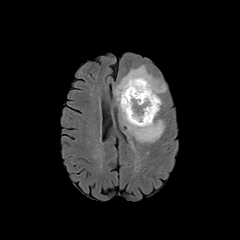
FLAIR MRI.
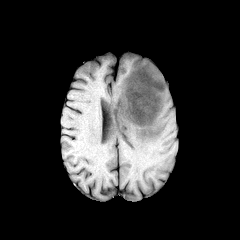
Same slice, T1-weighted MRI.
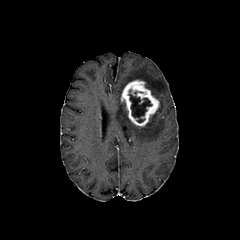
Same slice, post-contrast T1-weighted MR.
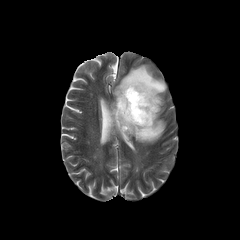
T2-weighted MR image.
Axial slice
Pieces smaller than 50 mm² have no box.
Findings:
* necrotic tumor core: left=129, top=94, right=151, bottom=122
* peritumoral edema: left=114, top=65, right=166, bottom=142
* enhancing tumor: left=121, top=79, right=159, bottom=126